Axial plane. Head. Slice index 70.
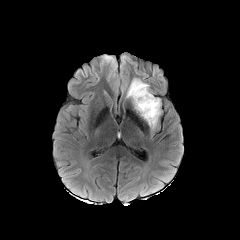
FLAIR MR.
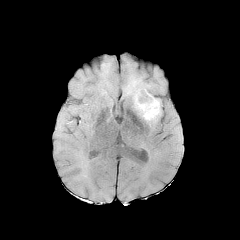
T1-weighted magnetic resonance.
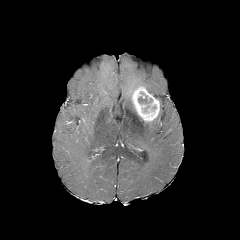
Post-contrast T1-weighted MR.
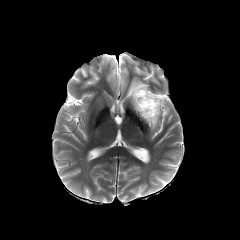
T2-weighted magnetic resonance.
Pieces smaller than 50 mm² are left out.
Segmented structures:
* peritumoral edema: l=126, t=78, r=151, b=99; l=148, t=98, r=161, b=129
* necrotic tumor core: l=138, t=92, r=152, b=112
* enhancing tumor: l=132, t=86, r=159, b=121